Axial plane
FLAIR MR.
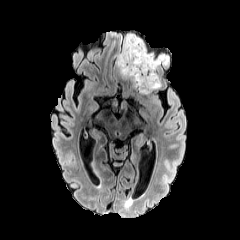
T1-weighted magnetic resonance.
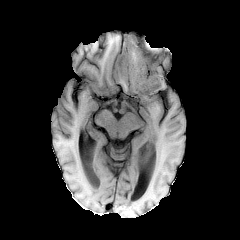
Post-contrast T1-weighted MRI.
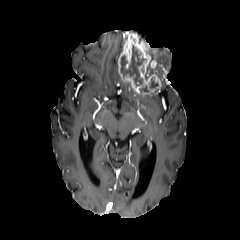
T2-weighted magnetic resonance.
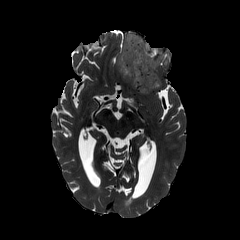
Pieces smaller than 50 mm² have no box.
peritumoral edema: bounding box box(145, 62, 154, 79); box(153, 53, 169, 69)
enhancing tumor: bounding box box(118, 33, 161, 95)
necrotic tumor core: bounding box box(139, 78, 158, 93); box(120, 45, 144, 86)